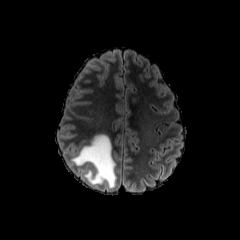
FLAIR MR.
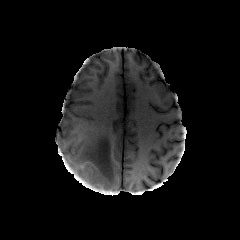
T1-weighted MRI of the same slice.
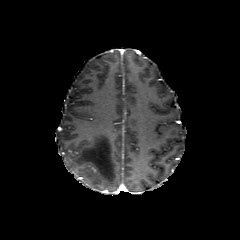
Post-contrast T1-weighted magnetic resonance.
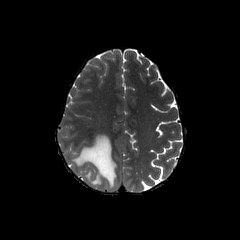
T2-weighted MRI.
240x240 px, Brain, Axial slice
The peritumoral edema is located at 71:134:116:188.